Axial plane; Image covers 240 mm x 240 mm; Slice index 30; Brain
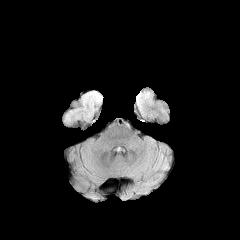
FLAIR MR.
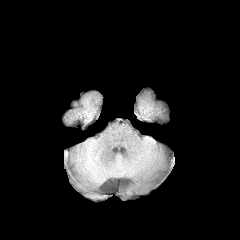
Same slice, T1-weighted MR.
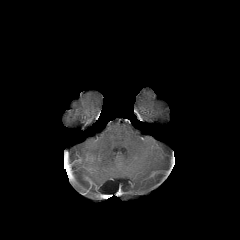
Post-contrast T1-weighted MR image of the same slice.
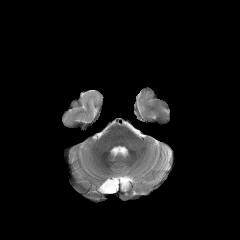
T2-weighted MR image.
The peritumoral edema lies within 136,92,151,111.